Head
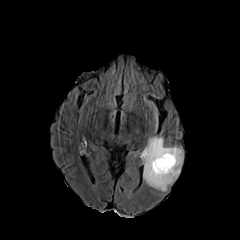
FLAIR MR.
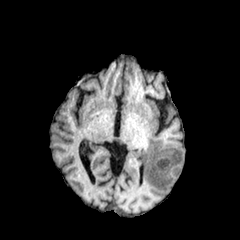
T1-weighted magnetic resonance of the same slice.
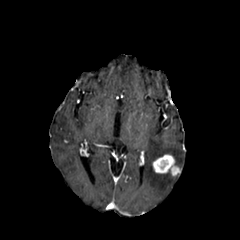
Post-contrast T1-weighted MRI.
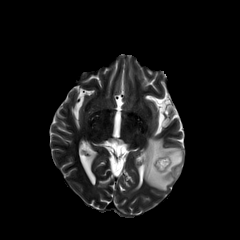
T2-weighted magnetic resonance.
{"peritumoral_edema": ["box(143, 137, 183, 191)"], "enhancing_tumor": ["box(152, 154, 180, 176)"]}